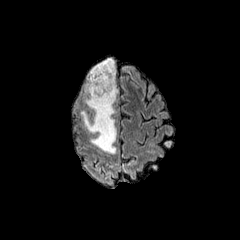
FLAIR MR.
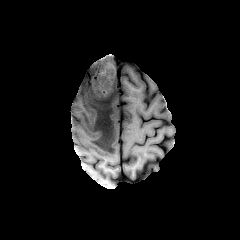
Same slice, T1-weighted MR.
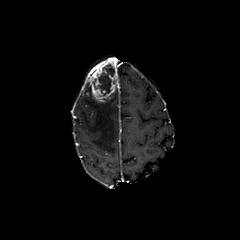
Same slice, post-contrast T1-weighted MR image.
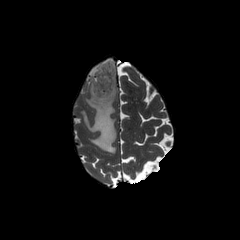
T2-weighted magnetic resonance.
Brain. Image size 240x240.
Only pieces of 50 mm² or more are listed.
The largest enhancing tumor region appears at (85,58,117,102). The largest necrotic tumor core region lies within (98,64,114,95). 2 peritumoral edema regions are located at (81,84,118,153), (85,56,111,80).